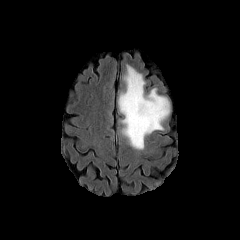
FLAIR magnetic resonance.
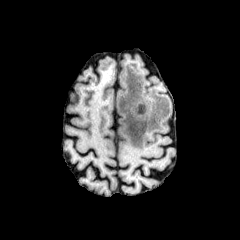
Same slice, T1-weighted MR image.
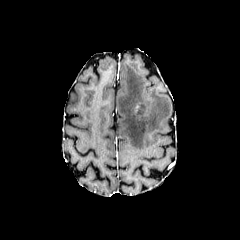
Post-contrast T1-weighted MR image.
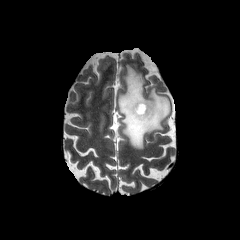
Same slice, T2-weighted magnetic resonance.
Brain | Axial view
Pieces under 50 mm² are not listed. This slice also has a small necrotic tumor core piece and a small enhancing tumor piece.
The peritumoral edema lies within 118 65 169 149.